Head.
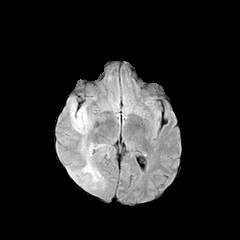
FLAIR MR image.
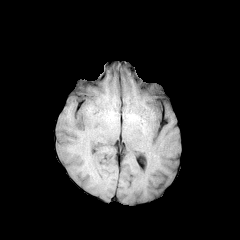
Same slice, T1-weighted MRI.
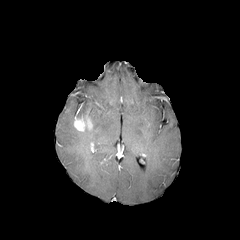
Post-contrast T1-weighted MR of the same slice.
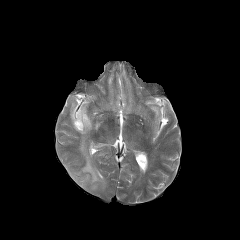
Same slice, T2-weighted MRI.
enhancing tumor — left=74, top=116, right=92, bottom=131
peritumoral edema — left=70, top=101, right=105, bottom=190; left=76, top=105, right=92, bottom=124